Brain, Axial slice, Image covers 240 mm x 240 mm, Image size 240x240
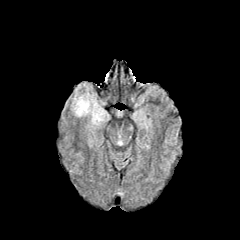
FLAIR magnetic resonance.
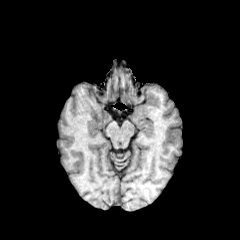
T1-weighted MR.
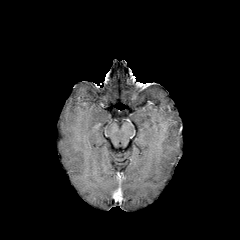
Post-contrast T1-weighted MR.
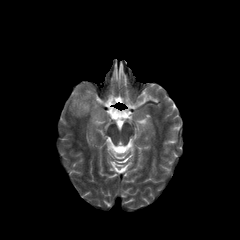
Same slice, T2-weighted MR.
peritumoral edema — <bbox>72, 93, 108, 126</bbox>